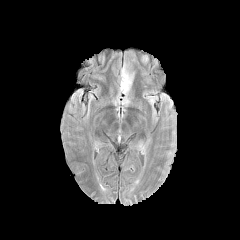
FLAIR magnetic resonance.
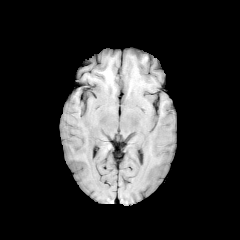
Same slice, T1-weighted MRI.
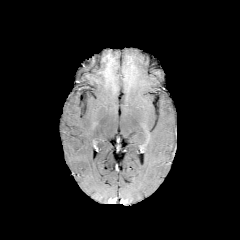
Post-contrast T1-weighted MR image.
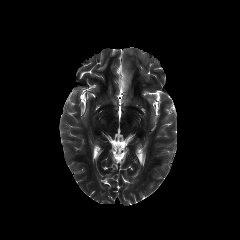
T2-weighted MRI.
* peritumoral edema: (120,67,132,92)